240x240 | Image width 240 mm
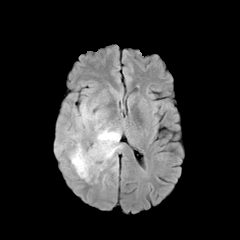
FLAIR magnetic resonance.
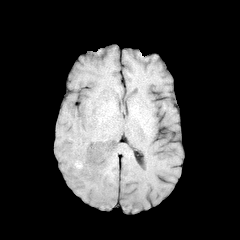
Same slice, T1-weighted MR image.
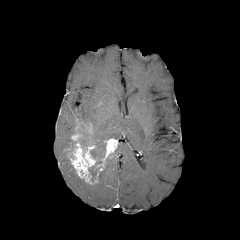
Post-contrast T1-weighted MR image of the same slice.
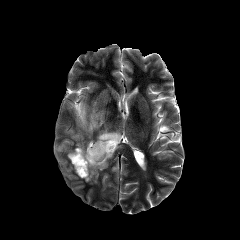
T2-weighted MR image of the same slice.
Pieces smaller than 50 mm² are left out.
The 3 largest peritumoral edema regions are bounded by [104,143,122,171], [55,139,71,154], [75,102,121,157]. The largest necrotic tumor core region is bounded by [89,166,99,178]. The largest enhancing tumor region is bounded by [67,132,118,183].